FLAIR MR image.
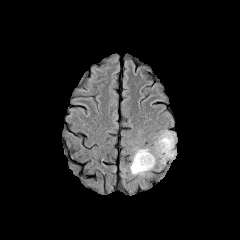
T1-weighted MRI.
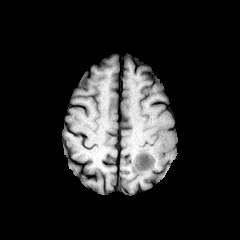
Post-contrast T1-weighted MR image.
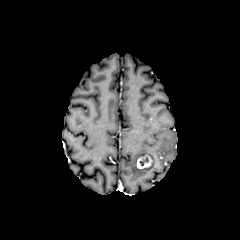
T2-weighted MRI.
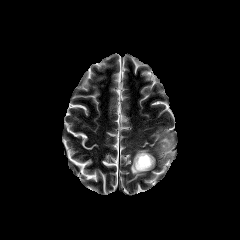
Head.
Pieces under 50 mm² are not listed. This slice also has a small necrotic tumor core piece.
enhancing tumor: {"x1": 136, "y1": 155, "x2": 152, "y2": 168} | peritumoral edema: {"x1": 156, "y1": 130, "x2": 176, "y2": 162}, {"x1": 130, "y1": 149, "x2": 155, "y2": 175}